240x240 px | Axial view | Brain | Slice index 95
FLAIR MRI.
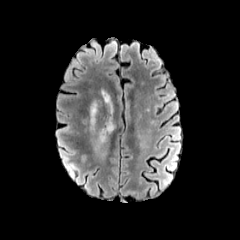
T1-weighted MR image.
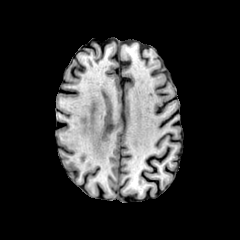
Post-contrast T1-weighted MR image.
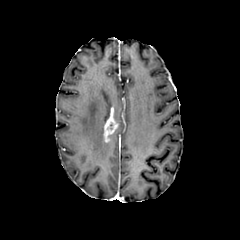
T2-weighted magnetic resonance.
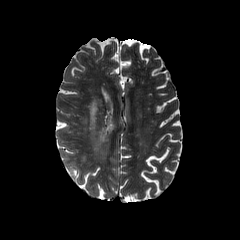
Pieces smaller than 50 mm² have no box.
Segmented structures:
* enhancing tumor: [x1=103, y1=117, x2=117, y2=141]
* peritumoral edema: [x1=90, y1=101, x2=97, y2=131], [x1=99, y1=129, x2=104, y2=142]